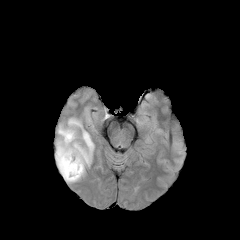
FLAIR MR.
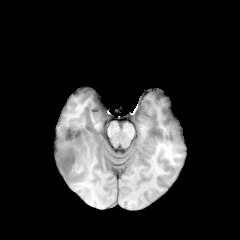
Same slice, T1-weighted MR.
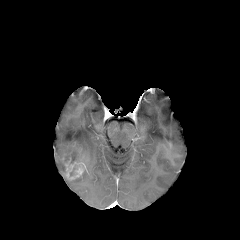
Post-contrast T1-weighted MRI.
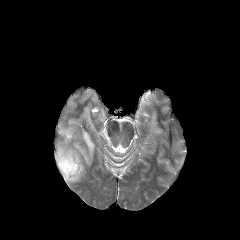
T2-weighted MR image.
Axial slice
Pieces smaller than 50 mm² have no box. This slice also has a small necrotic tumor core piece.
Annotated regions:
- enhancing tumor: {"x1": 63, "y1": 157, "x2": 85, "y2": 180}
- peritumoral edema: {"x1": 55, "y1": 118, "x2": 94, "y2": 183}